Slice index 93
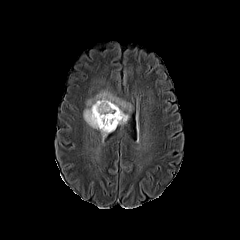
FLAIR MR image.
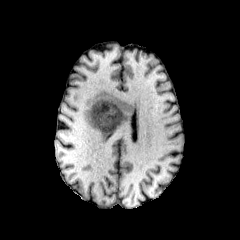
T1-weighted MR image of the same slice.
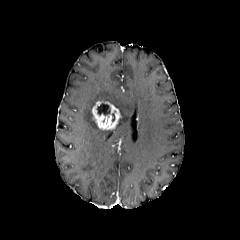
Same slice, post-contrast T1-weighted MR image.
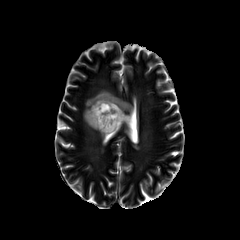
Same slice, T2-weighted MR.
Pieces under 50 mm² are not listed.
necrotic tumor core: 97 103 110 115
enhancing tumor: 92 100 121 130
peritumoral edema: 83 90 131 136